FLAIR magnetic resonance.
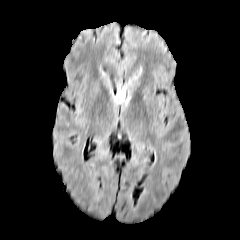
T1-weighted MR image.
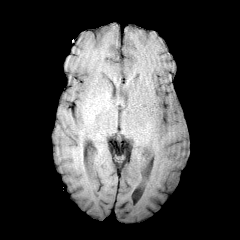
Post-contrast T1-weighted MR.
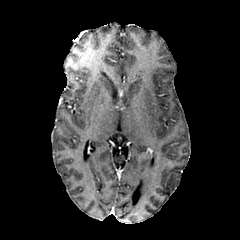
T2-weighted magnetic resonance.
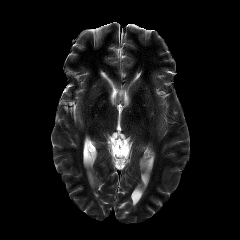
Head | 240x240
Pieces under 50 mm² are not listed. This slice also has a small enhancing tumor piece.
The largest peritumoral edema region is at [114,86,127,102].